FLAIR MR.
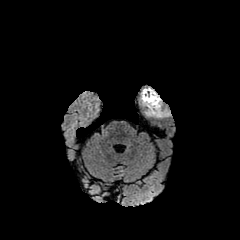
T1-weighted magnetic resonance.
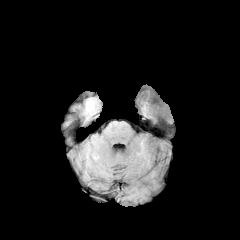
Post-contrast T1-weighted MR image.
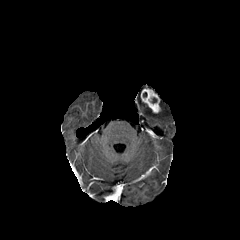
T2-weighted magnetic resonance.
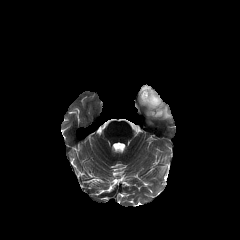
Brain
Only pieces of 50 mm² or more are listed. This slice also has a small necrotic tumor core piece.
enhancing tumor — [140,87,160,113]
peritumoral edema — [139,98,171,118]